FLAIR magnetic resonance.
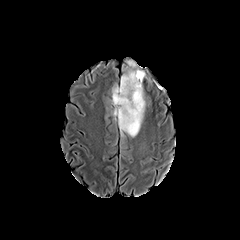
T1-weighted MR image.
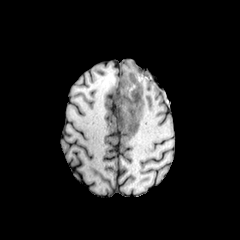
Post-contrast T1-weighted MR image.
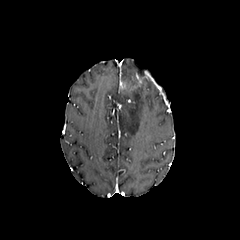
T2-weighted magnetic resonance.
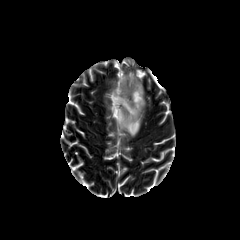
Axial slice; Brain
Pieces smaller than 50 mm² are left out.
peritumoral edema: box(112, 68, 145, 139)
enhancing tumor: box(120, 82, 135, 91)